FLAIR MRI.
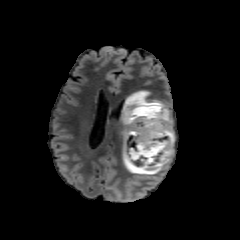
T1-weighted MRI.
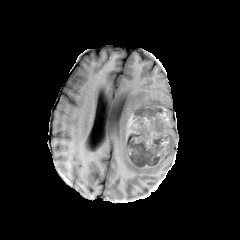
Post-contrast T1-weighted MRI.
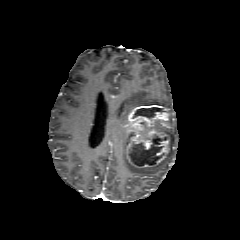
T2-weighted MR image.
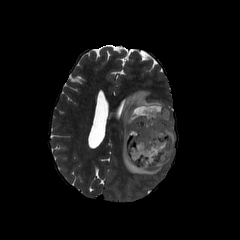
Axial plane
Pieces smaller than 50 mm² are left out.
Segmented structures:
- enhancing tumor: (125,104,172,169)
- peritumoral edema: (122,90,166,126), (122,129,175,176)
- necrotic tumor core: (133,107,164,118), (129,133,166,165)